Brain. Slice 77 of 155. Axial plane.
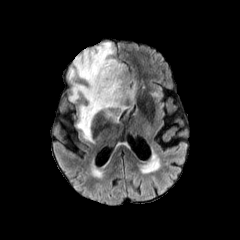
FLAIR MR.
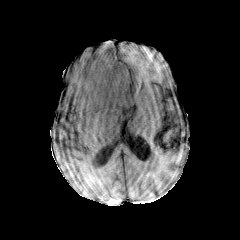
T1-weighted MRI.
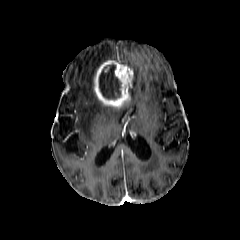
Post-contrast T1-weighted MRI.
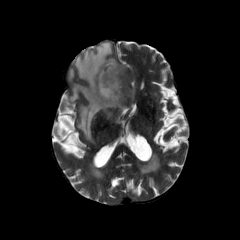
T2-weighted MR.
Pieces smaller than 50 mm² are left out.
Segmented structures:
* necrotic tumor core: {"x1": 99, "y1": 64, "x2": 120, "y2": 98}
* enhancing tumor: {"x1": 93, "y1": 59, "x2": 133, "y2": 109}
* peritumoral edema: {"x1": 128, "y1": 80, "x2": 136, "y2": 104}, {"x1": 68, "y1": 42, "x2": 116, "y2": 140}